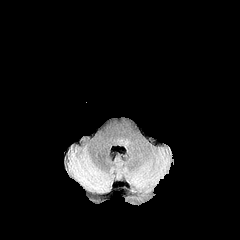
FLAIR MR.
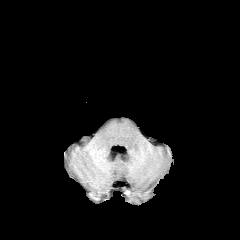
T1-weighted MR of the same slice.
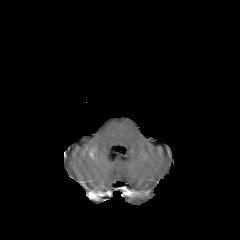
Post-contrast T1-weighted MRI.
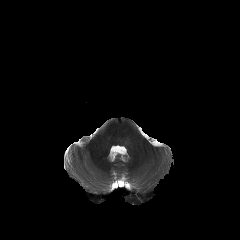
T2-weighted MRI of the same slice.
peritumoral edema: {"x1": 119, "y1": 138, "x2": 128, "y2": 145}